Slice index 59
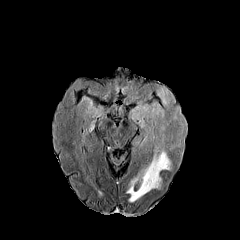
FLAIR magnetic resonance.
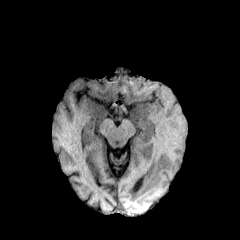
T1-weighted MR.
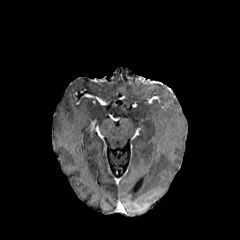
Same slice, post-contrast T1-weighted MR image.
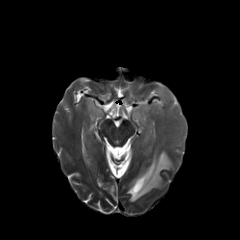
T2-weighted MR image of the same slice.
{"peritumoral_edema": ["(x1=126, y1=87, x2=182, y2=201)"]}